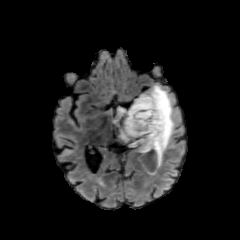
FLAIR MR image.
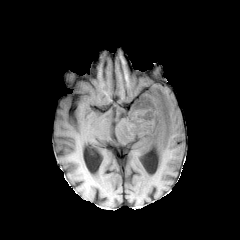
Same slice, T1-weighted MR image.
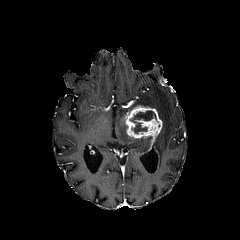
Same slice, post-contrast T1-weighted MR image.
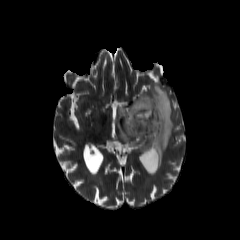
T2-weighted MR.
240x240 px | Brain | Axial slice
The necrotic tumor core is located at [x1=129, y1=110, x2=158, y2=133]. The enhancing tumor lies within [x1=125, y1=105, x2=162, y2=165]. The peritumoral edema is bounded by [x1=113, y1=84, x2=174, y2=175].